Head; Slice index 117
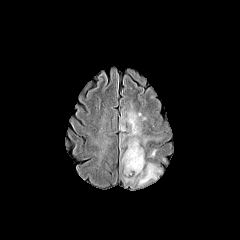
FLAIR magnetic resonance.
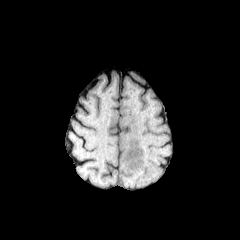
T1-weighted MR.
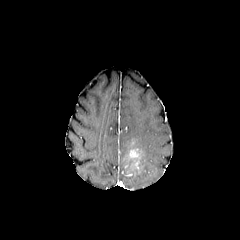
Post-contrast T1-weighted MR image.
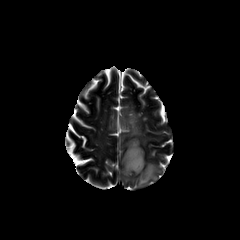
Same slice, T2-weighted MRI.
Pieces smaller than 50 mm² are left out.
enhancing tumor = x1=123 y1=139 x2=142 y2=172
peritumoral edema = x1=147 y1=148 x2=157 y2=158, x1=142 y1=135 x2=162 y2=146, x1=118 y1=101 x2=162 y2=189